Axial plane; Image covers 240 mm x 240 mm
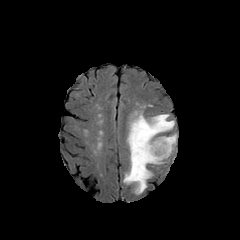
FLAIR MR.
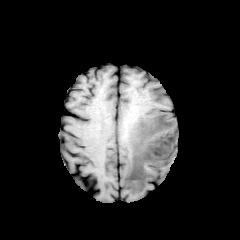
Same slice, T1-weighted MR image.
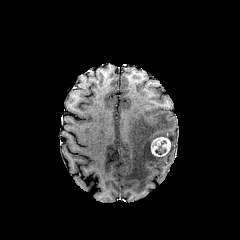
Same slice, post-contrast T1-weighted magnetic resonance.
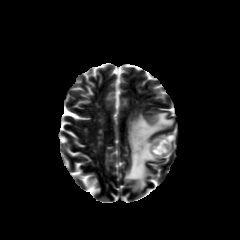
T2-weighted MR image.
The enhancing tumor lies within rect(150, 137, 171, 156). The necrotic tumor core appears at rect(155, 141, 165, 154). The peritumoral edema is located at rect(123, 112, 176, 193).